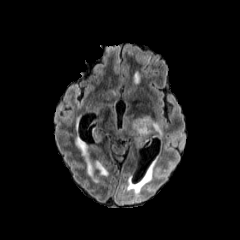
FLAIR MR.
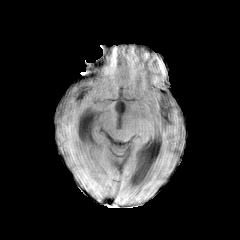
Same slice, T1-weighted MR image.
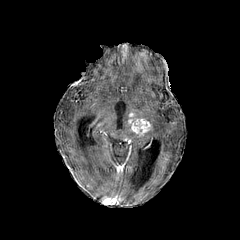
Same slice, post-contrast T1-weighted MRI.
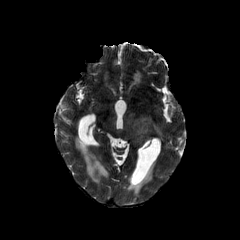
T2-weighted MR.
Axial plane
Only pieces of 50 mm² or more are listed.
The 2 largest peritumoral edema regions appear at [105,111,116,129], [122,112,160,139]. The enhancing tumor is located at [127,113,151,136].